Brain. Slice 93 of 155.
FLAIR MR.
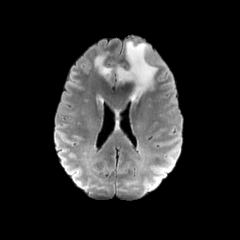
T1-weighted MR image.
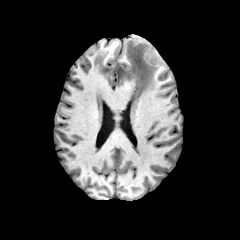
Post-contrast T1-weighted MRI.
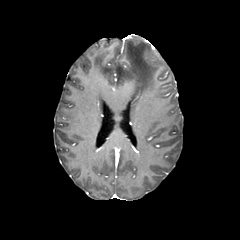
T2-weighted MR.
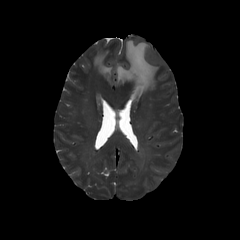
Findings:
- peritumoral edema: rect(116, 41, 157, 100); rect(94, 55, 112, 77)